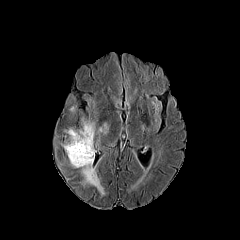
FLAIR MR.
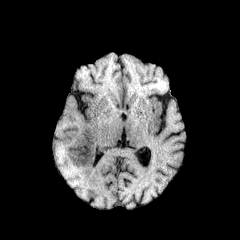
Same slice, T1-weighted magnetic resonance.
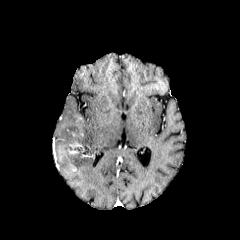
Post-contrast T1-weighted magnetic resonance.
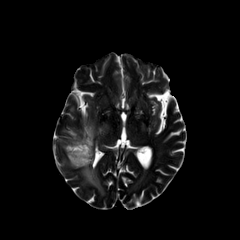
T2-weighted MRI.
240x240; Head; Axial slice
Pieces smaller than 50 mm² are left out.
2 peritumoral edema regions are located at 62,122,104,195; 98,123,106,133. The largest necrotic tumor core region appears at 82,145,91,155. The largest enhancing tumor region is located at 68,142,84,154.